Slice index 89. Head. 240x240 px.
FLAIR MR image.
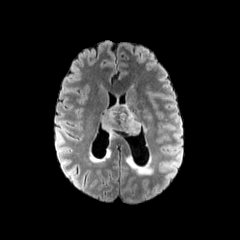
T1-weighted magnetic resonance.
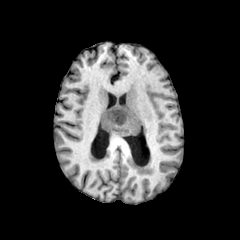
Post-contrast T1-weighted MR image.
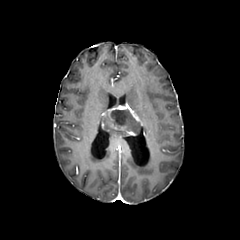
T2-weighted MR image.
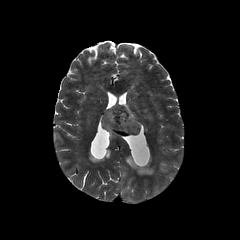
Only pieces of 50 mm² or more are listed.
The enhancing tumor appears at <box>103,103,142,136</box>. The necrotic tumor core is at <box>111,109,140,133</box>. The largest peritumoral edema region lies within <box>101,117,123,138</box>.